Head. Slice index 106.
FLAIR MR image.
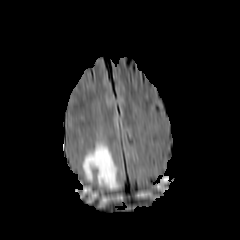
T1-weighted magnetic resonance.
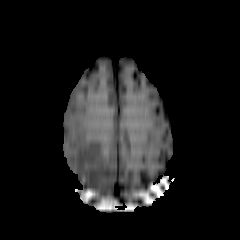
Post-contrast T1-weighted MRI.
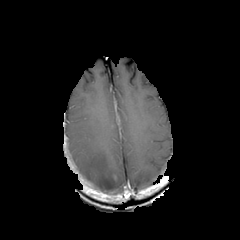
T2-weighted MR image.
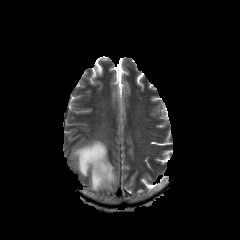
peritumoral edema: [x1=82, y1=141, x2=118, y2=190]